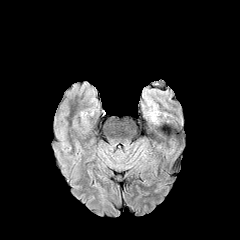
FLAIR MR image.
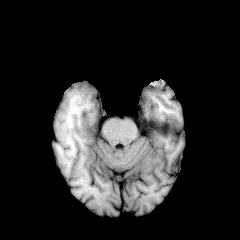
Same slice, T1-weighted MR.
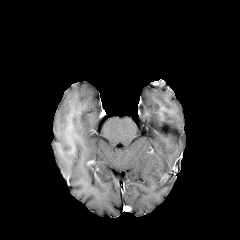
Same slice, post-contrast T1-weighted MR.
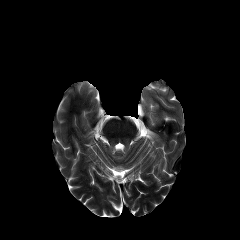
T2-weighted MR image.
Axial plane, Head
The peritumoral edema is bounded by l=149, t=110, r=157, b=121.